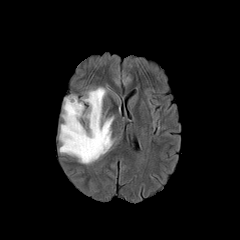
FLAIR MRI.
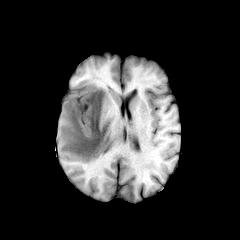
Same slice, T1-weighted MRI.
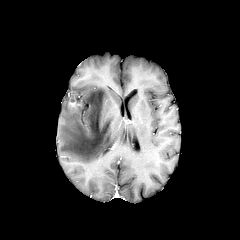
Post-contrast T1-weighted magnetic resonance of the same slice.
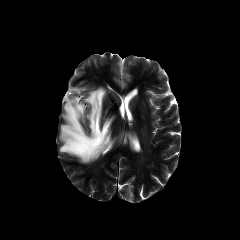
Same slice, T2-weighted MR.
Head; 240x240
peritumoral_edema:
  - x1=59 y1=87 x2=114 y2=164
enhancing_tumor:
  - x1=69 y1=102 x2=81 y2=108